FLAIR MR.
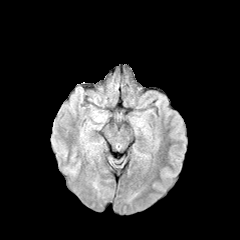
T1-weighted MRI.
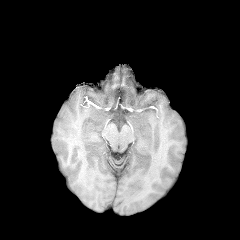
Post-contrast T1-weighted MR image.
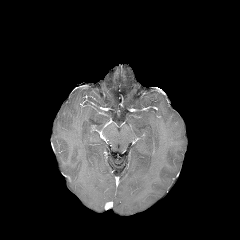
T2-weighted MR.
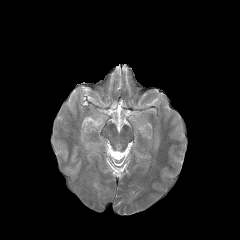
Brain | 240x240
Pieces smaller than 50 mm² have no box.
peritumoral edema: box=[85, 142, 94, 152]